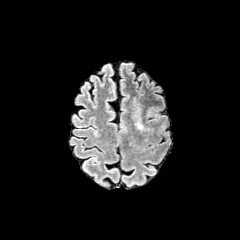
FLAIR MR image.
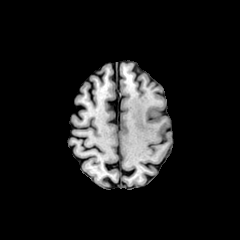
Same slice, T1-weighted MR image.
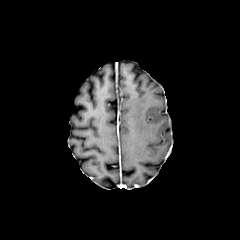
Post-contrast T1-weighted MRI.
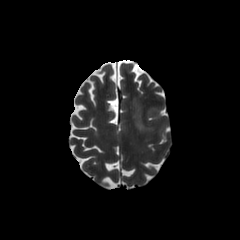
T2-weighted MR image of the same slice.
Axial plane, 240x240 px, Brain
peritumoral edema at 133,98,152,135